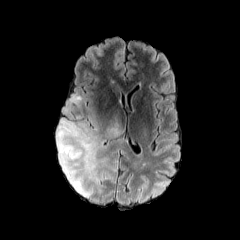
FLAIR MR image.
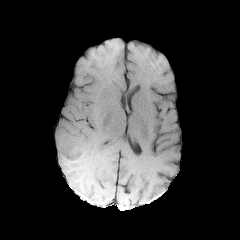
T1-weighted MRI.
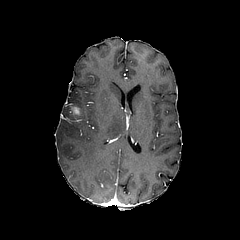
Same slice, post-contrast T1-weighted magnetic resonance.
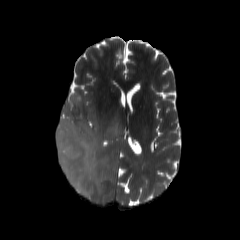
T2-weighted magnetic resonance.
240x240. Brain.
The enhancing tumor is bounded by 70 106 80 115. 2 peritumoral edema regions are bounded by 56 94 115 197, 105 120 122 139.